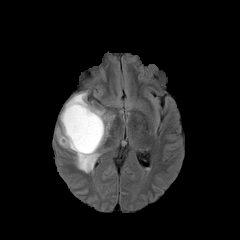
FLAIR MR image.
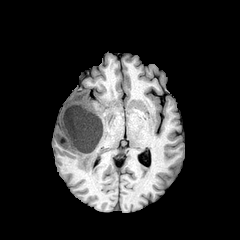
T1-weighted MR.
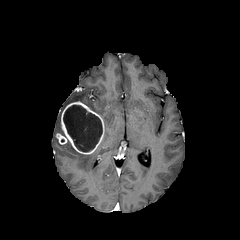
Same slice, post-contrast T1-weighted MR.
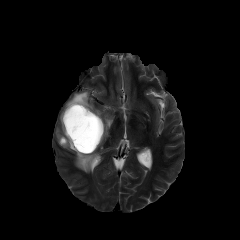
T2-weighted MRI of the same slice.
Image size 240x240, Axial plane
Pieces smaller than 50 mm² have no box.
enhancing tumor: bounding box x1=56, y1=101, x2=104, y2=154
necrotic tumor core: bounding box x1=63, y1=105, x2=102, y2=151
peritumoral edema: bounding box x1=62, y1=143, x2=98, y2=172; x1=65, y1=92, x2=110, y2=146